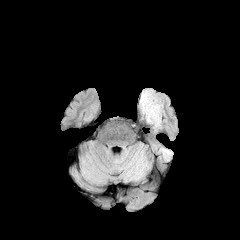
FLAIR magnetic resonance.
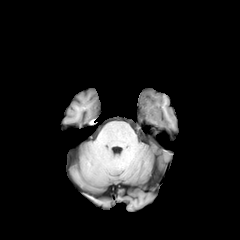
T1-weighted magnetic resonance.
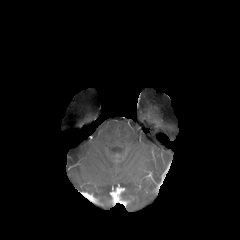
Same slice, post-contrast T1-weighted magnetic resonance.
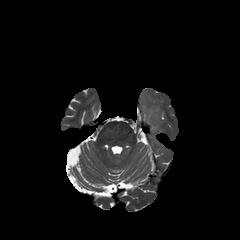
Same slice, T2-weighted MRI.
Head
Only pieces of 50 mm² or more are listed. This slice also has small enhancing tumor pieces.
{"peritumoral_edema": ["x1=140 y1=90 x2=164 y2=127"]}